Head
FLAIR MR image.
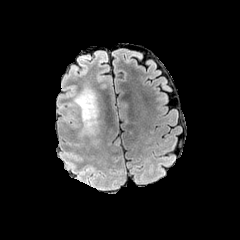
T1-weighted MR image.
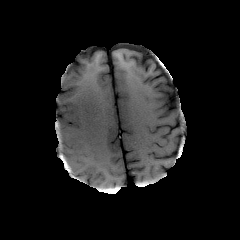
Post-contrast T1-weighted magnetic resonance.
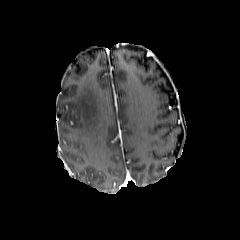
T2-weighted magnetic resonance.
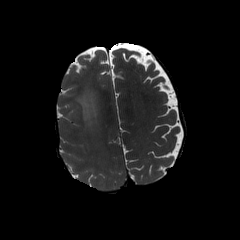
<segmentation>
  <peritumoral_edema>74,87,98,134</peritumoral_edema>
</segmentation>